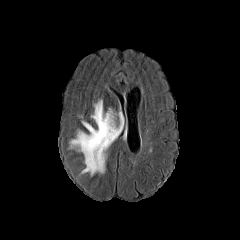
FLAIR MR image.
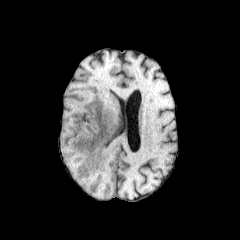
Same slice, T1-weighted MRI.
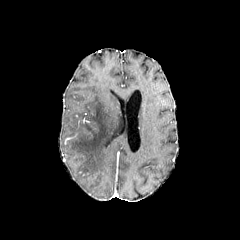
Post-contrast T1-weighted magnetic resonance of the same slice.
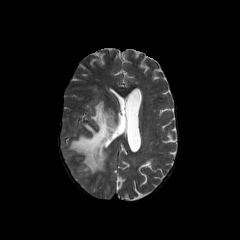
T2-weighted MR.
Axial slice
peritumoral edema at 70, 100, 123, 175